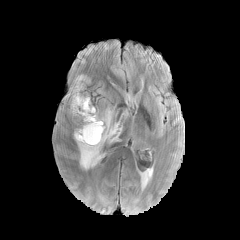
FLAIR MR.
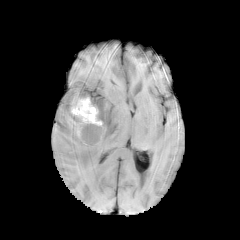
T1-weighted MR image.
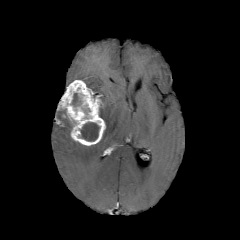
Post-contrast T1-weighted MR of the same slice.
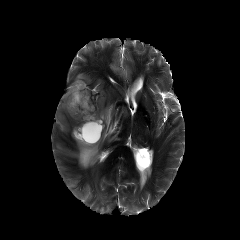
T2-weighted MR.
Head, Image size 240x240
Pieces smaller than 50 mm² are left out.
necrotic tumor core = x1=80 y1=122 x2=99 y2=141, x1=72 y1=93 x2=81 y2=106
peritumoral edema = x1=77 y1=107 x2=121 y2=169
enhancing tumor = x1=59 y1=80 x2=105 y2=145